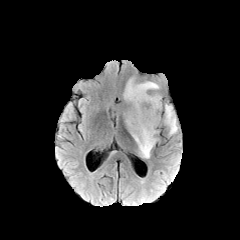
FLAIR MR image.
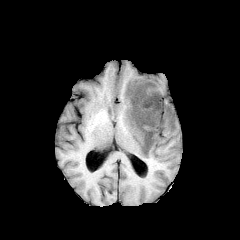
T1-weighted magnetic resonance.
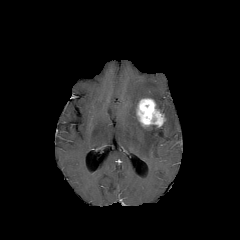
Post-contrast T1-weighted MRI of the same slice.
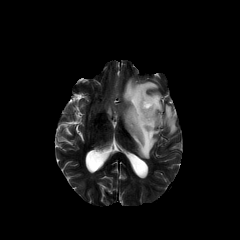
Same slice, T2-weighted magnetic resonance.
Axial slice | Head
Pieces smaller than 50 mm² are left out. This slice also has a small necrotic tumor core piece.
2 peritumoral edema regions appear at 123:78:162:158, 164:104:177:135. The enhancing tumor appears at 136:98:165:127.